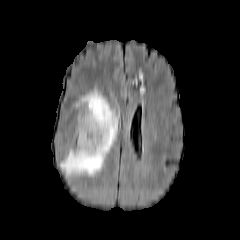
FLAIR MR.
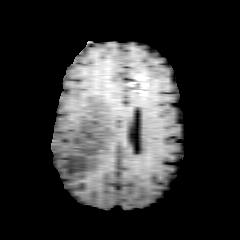
T1-weighted MR image.
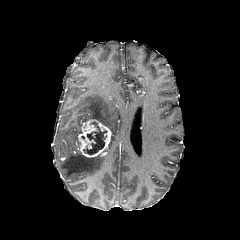
Post-contrast T1-weighted MR.
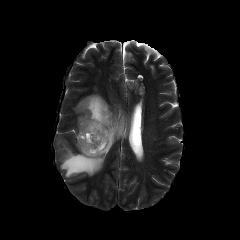
T2-weighted MRI.
Head. 240x240 px.
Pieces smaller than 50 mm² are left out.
The largest enhancing tumor region appears at <bbox>77, 119, 111, 157</bbox>. 2 peritumoral edema regions are located at <bbox>60, 149, 106, 176</bbox>, <bbox>77, 91, 119, 153</bbox>. The largest necrotic tumor core region lies within <bbox>83, 122, 106, 154</bbox>.